Slice 107 of 155
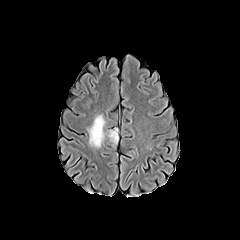
FLAIR magnetic resonance.
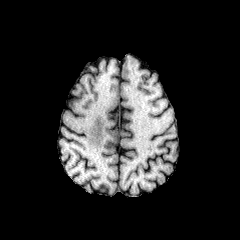
Same slice, T1-weighted MR.
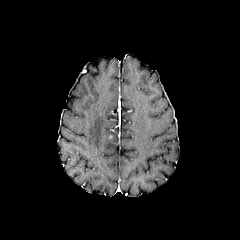
Post-contrast T1-weighted MR image of the same slice.
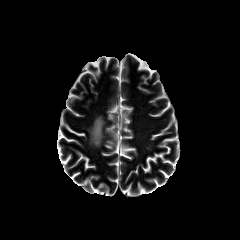
T2-weighted MR image.
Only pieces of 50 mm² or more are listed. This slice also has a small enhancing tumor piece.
peritumoral edema at x1=88, y1=115, x2=118, y2=147